FLAIR magnetic resonance.
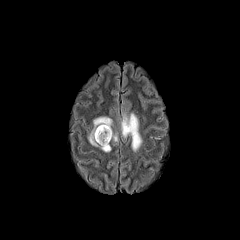
T1-weighted magnetic resonance.
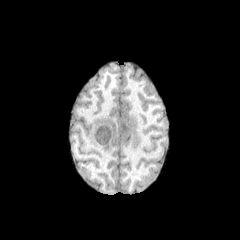
Post-contrast T1-weighted MRI.
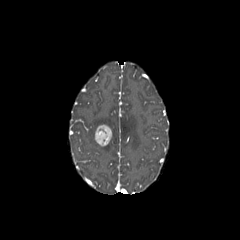
T2-weighted magnetic resonance.
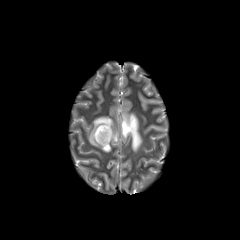
Axial plane
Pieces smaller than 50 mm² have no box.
<segmentation>
  <peritumoral_edema>x1=88 y1=116 x2=112 y2=152, x1=121 y1=113 x2=142 y2=151</peritumoral_edema>
  <enhancing_tumor>x1=95 y1=124 x2=112 y2=146</enhancing_tumor>
</segmentation>